FLAIR MR.
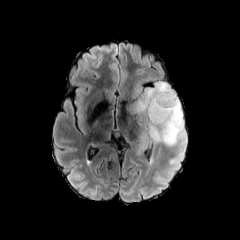
T1-weighted magnetic resonance.
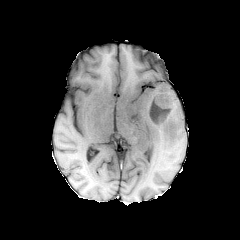
Post-contrast T1-weighted magnetic resonance.
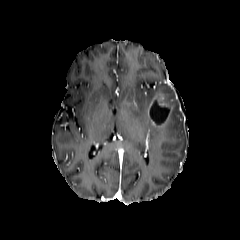
T2-weighted MR image.
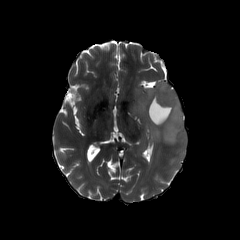
Brain.
Findings:
- enhancing tumor: (154,95,172,112), (148,101,169,125)
- necrotic tumor core: (150,100,169,123)
- peritumoral edema: (128,82,185,154)